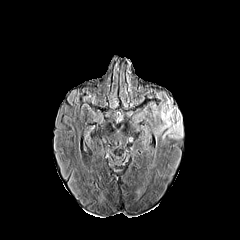
FLAIR MRI.
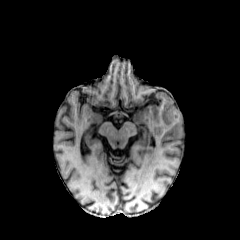
T1-weighted MRI.
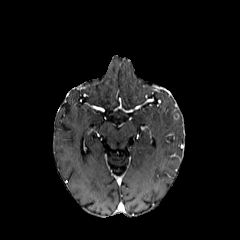
Same slice, post-contrast T1-weighted MR image.
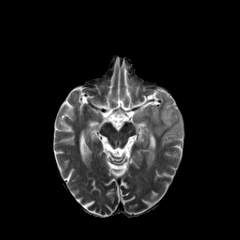
T2-weighted magnetic resonance.
Axial slice; Image size 240x240
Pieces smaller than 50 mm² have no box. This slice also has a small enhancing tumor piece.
peritumoral_edema:
  - l=153, t=98, r=182, b=138